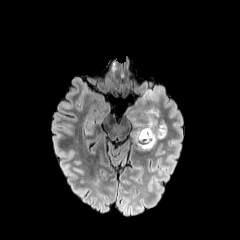
FLAIR MR.
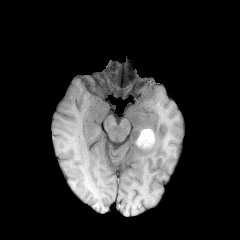
T1-weighted MRI.
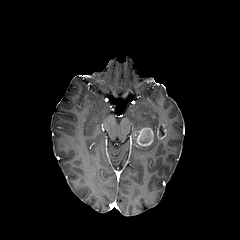
Post-contrast T1-weighted MR image.
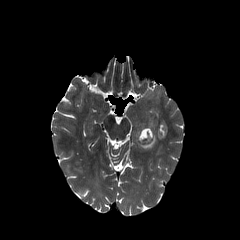
T2-weighted MR.
Brain, Axial view
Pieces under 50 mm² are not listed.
necrotic_tumor_core:
  - <bbox>140, 130, 150, 142</bbox>
enhancing_tumor:
  - <bbox>133, 124, 166, 147</bbox>
peritumoral_edema:
  - <bbox>137, 110, 154, 130</bbox>
  - <bbox>139, 137, 156, 149</bbox>